FLAIR MR image.
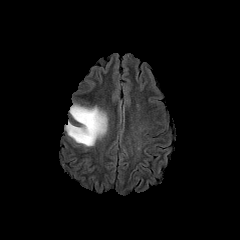
T1-weighted MR.
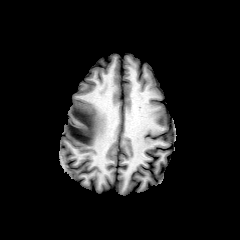
Post-contrast T1-weighted MRI.
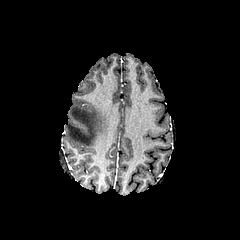
T2-weighted MR image.
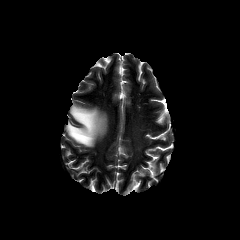
Brain.
{"peritumoral_edema": ["bbox=[66, 105, 107, 146]"]}